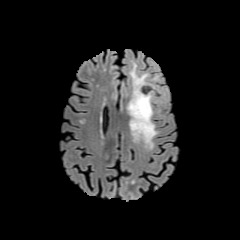
FLAIR magnetic resonance.
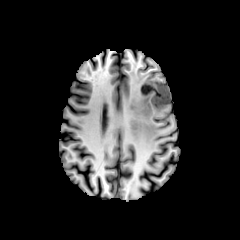
T1-weighted magnetic resonance.
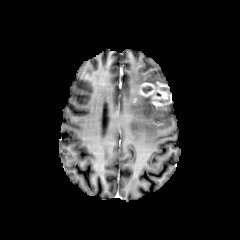
Post-contrast T1-weighted MR.
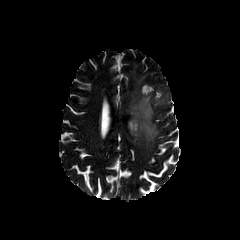
Same slice, T2-weighted MR image.
Axial view
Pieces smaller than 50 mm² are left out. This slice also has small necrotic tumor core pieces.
<segmentation>
  <enhancing_tumor><box>138,82,170,107</box></enhancing_tumor>
  <peritumoral_edema><box>127,64,158,147</box></peritumoral_edema>
</segmentation>